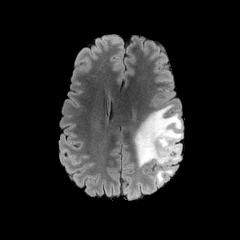
FLAIR magnetic resonance.
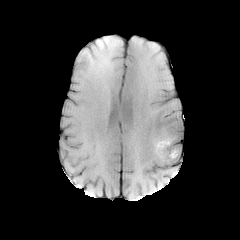
T1-weighted MR of the same slice.
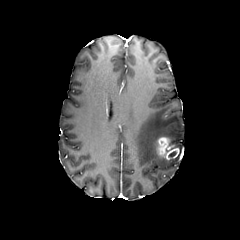
Post-contrast T1-weighted MRI of the same slice.
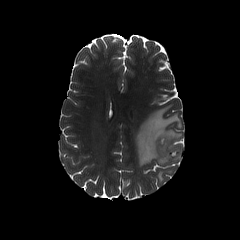
Same slice, T2-weighted MR image.
240x240 px; Axial slice
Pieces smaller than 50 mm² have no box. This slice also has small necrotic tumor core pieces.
{"peritumoral_edema": ["[134, 104, 182, 184]"], "enhancing_tumor": ["[157, 136, 179, 160]"]}